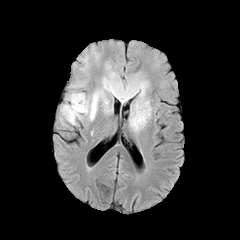
FLAIR MR image.
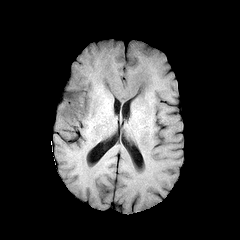
T1-weighted magnetic resonance.
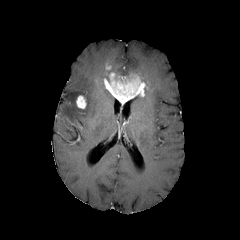
Same slice, post-contrast T1-weighted MR image.
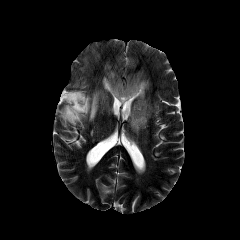
Same slice, T2-weighted MR.
Brain. 240x240 px.
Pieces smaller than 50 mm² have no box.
peritumoral edema at [x1=129, y1=88, x2=152, y2=131], [x1=60, y1=63, x2=113, y2=125], [x1=137, y1=72, x2=149, y2=88], [x1=71, y1=81, x2=85, y2=88]
enhancing tumor at [x1=76, y1=95, x2=86, y2=109], [x1=103, y1=72, x2=147, y2=104]